Brain | 240x240 | Axial slice
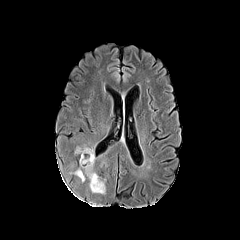
FLAIR MR image.
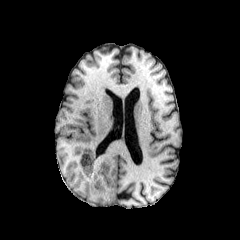
T1-weighted MR.
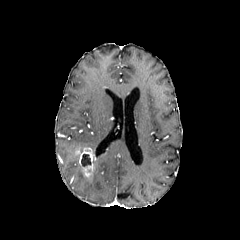
Post-contrast T1-weighted MR image.
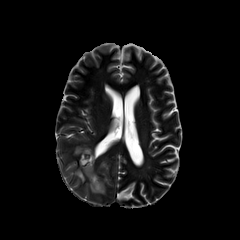
T2-weighted MR image of the same slice.
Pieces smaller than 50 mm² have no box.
<segmentation>
  <enhancing_tumor>(75,147,95,176)</enhancing_tumor>
  <peritumoral_edema>(88,172,105,193), (76,169,84,182)</peritumoral_edema>
  <necrotic_tumor_core>(81,154,91,166)</necrotic_tumor_core>
</segmentation>